FLAIR MRI.
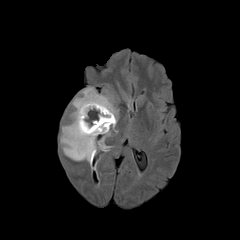
T1-weighted MRI.
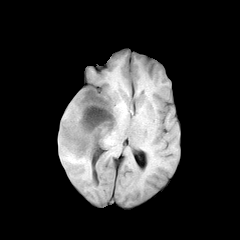
Post-contrast T1-weighted MRI.
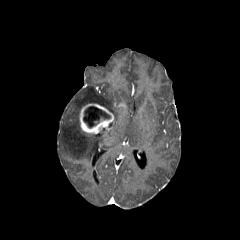
T2-weighted MRI.
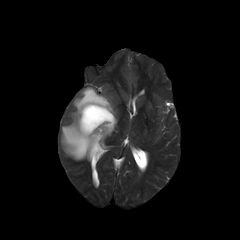
Head.
Findings:
- enhancing tumor: [79, 103, 114, 134]
- necrotic tumor core: [83, 106, 110, 127]
- peritumoral edema: [60, 87, 117, 161]